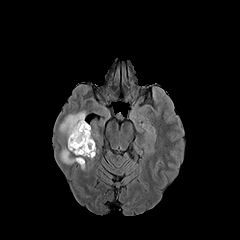
FLAIR MR image.
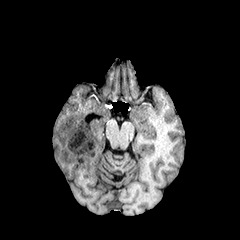
T1-weighted MRI of the same slice.
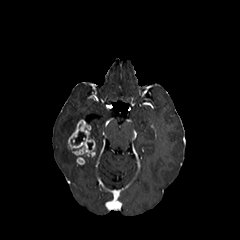
Post-contrast T1-weighted MRI of the same slice.
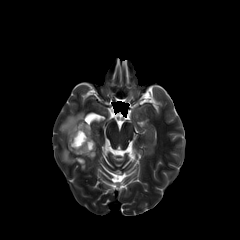
T2-weighted magnetic resonance of the same slice.
Brain
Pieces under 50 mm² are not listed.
necrotic tumor core: 71:131:85:144 | enhancing tumor: 68:119:95:164 | peritumoral edema: 60:148:77:164, 59:111:85:142